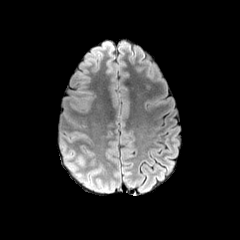
FLAIR MR.
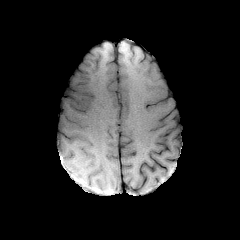
T1-weighted MR.
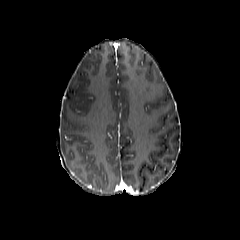
Post-contrast T1-weighted MR image of the same slice.
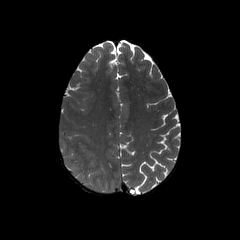
T2-weighted MR of the same slice.
240x240 px. Brain.
The peritumoral edema is at region(77, 155, 84, 165).